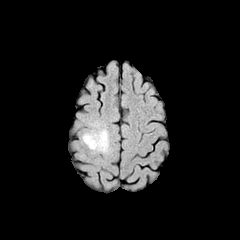
FLAIR MR.
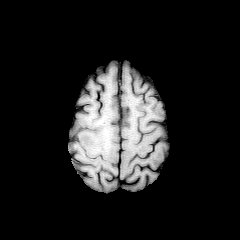
T1-weighted MRI.
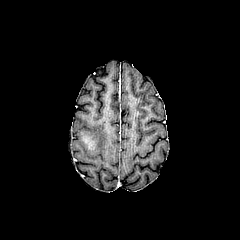
Post-contrast T1-weighted MR of the same slice.
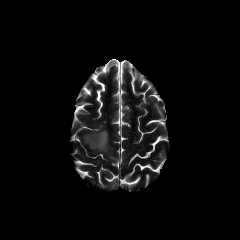
T2-weighted magnetic resonance of the same slice.
Axial plane; Head; 240x240
<segmentation>
  <peritumoral_edema>81:130:109:154</peritumoral_edema>
  <enhancing_tumor>83:136:96:149</enhancing_tumor>
</segmentation>